Brain; 240x240; Axial view
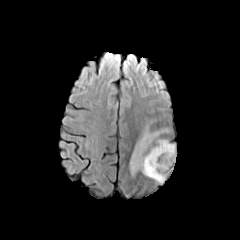
FLAIR magnetic resonance.
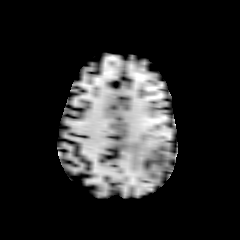
T1-weighted MRI of the same slice.
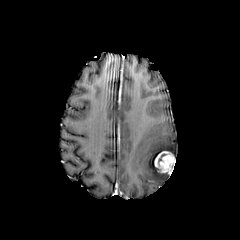
Post-contrast T1-weighted MR of the same slice.
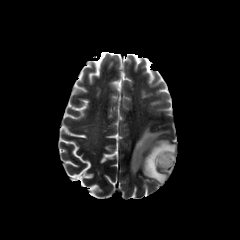
T2-weighted MR of the same slice.
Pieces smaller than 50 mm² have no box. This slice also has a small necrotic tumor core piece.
The peritumoral edema lies within [x1=130, y1=128, x2=175, y2=183]. The enhancing tumor is located at [x1=154, y1=151, x2=175, y2=173].